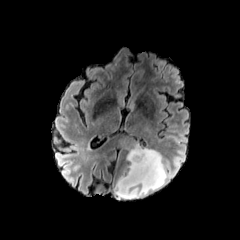
FLAIR MRI.
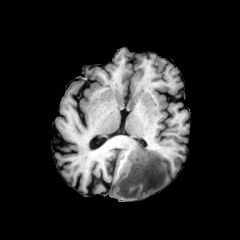
T1-weighted MR of the same slice.
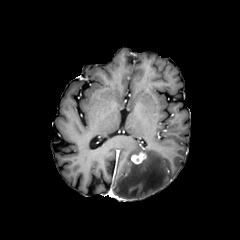
Post-contrast T1-weighted MR.
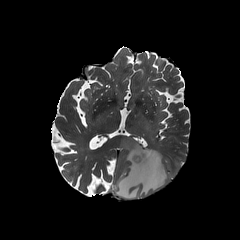
T2-weighted MR image.
Image size 240x240
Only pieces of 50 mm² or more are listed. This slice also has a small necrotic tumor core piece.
The enhancing tumor is at box=[131, 152, 146, 164]. The peritumoral edema is located at box=[114, 144, 168, 199].